FLAIR MR image.
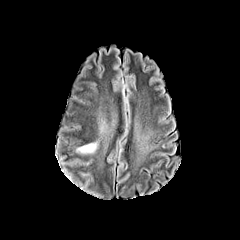
T1-weighted MR.
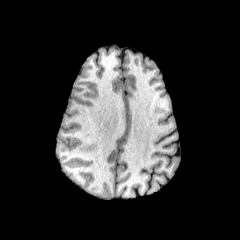
Post-contrast T1-weighted MR.
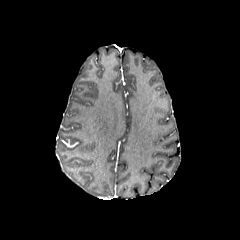
T2-weighted MR.
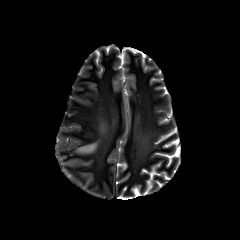
Brain | Axial slice
peritumoral edema: bbox(79, 144, 95, 152)